Image width 240 mm, 1.00 mm slice spacing. Axial plane. Head.
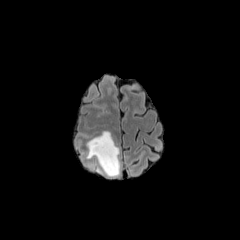
FLAIR MR image.
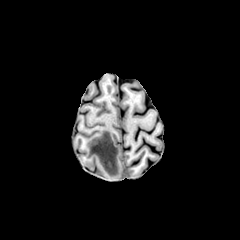
Same slice, T1-weighted MR image.
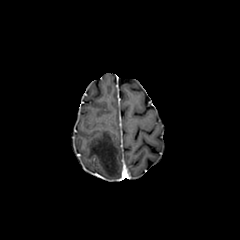
Post-contrast T1-weighted magnetic resonance of the same slice.
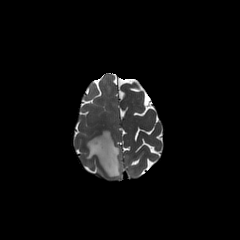
T2-weighted magnetic resonance.
<segmentation>
  <peritumoral_edema>86,131,120,177</peritumoral_edema>
</segmentation>